FLAIR MR image.
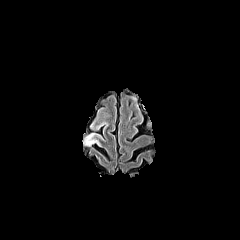
T1-weighted MR image.
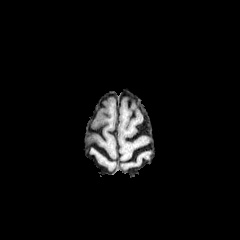
Post-contrast T1-weighted magnetic resonance.
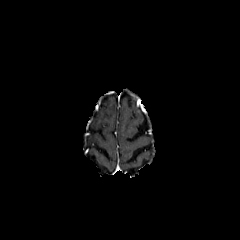
T2-weighted MR image.
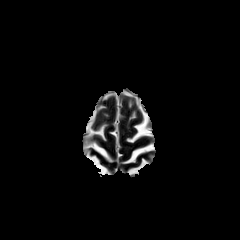
240x240 px, Head
Annotated regions:
* peritumoral edema: <box>84,134,96,145</box>